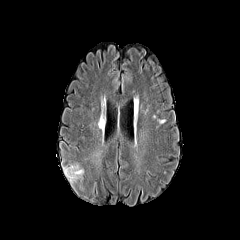
FLAIR MR.
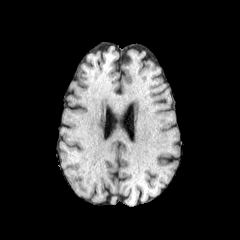
T1-weighted MRI.
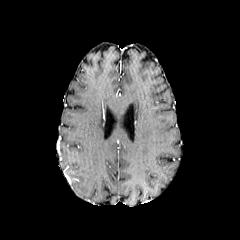
Post-contrast T1-weighted MR image of the same slice.
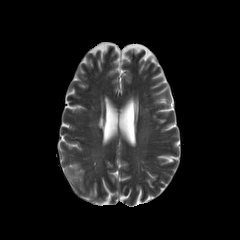
T2-weighted MRI of the same slice.
240x240 px | Head | Axial slice
Findings:
* peritumoral edema: [x1=63, y1=163, x2=83, y2=183]